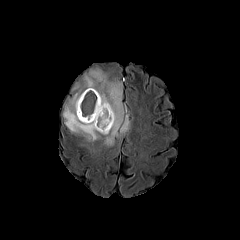
FLAIR MR.
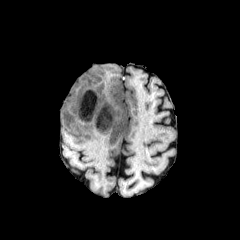
T1-weighted MR image of the same slice.
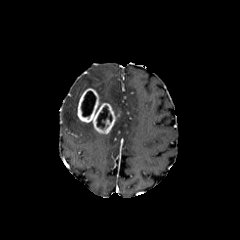
Post-contrast T1-weighted MRI.
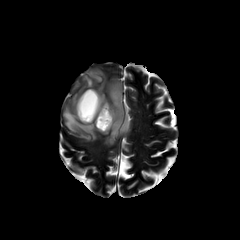
Same slice, T2-weighted MRI.
240x240 px
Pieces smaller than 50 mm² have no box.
2 necrotic tumor core regions are bounded by bbox(97, 106, 112, 128); bbox(81, 91, 96, 116). The largest peritumoral edema region lies within bbox(63, 67, 130, 146). The enhancing tumor is at bbox(77, 88, 119, 134).